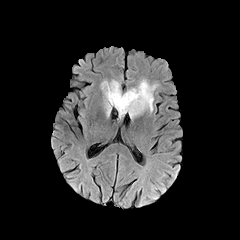
FLAIR MR image.
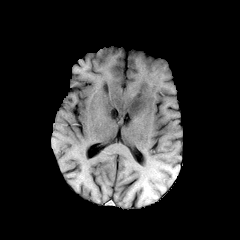
T1-weighted MR of the same slice.
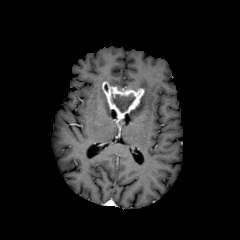
Post-contrast T1-weighted magnetic resonance.
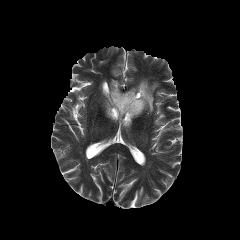
T2-weighted MR image.
Axial view.
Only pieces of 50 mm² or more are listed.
The enhancing tumor is at x1=102 y1=81 x2=144 y2=120. The largest necrotic tumor core region is located at x1=112 y1=94 x2=134 y2=112. The 3 largest peritumoral edema regions are bounded by x1=109 y1=79 x2=120 y2=89, x1=129 y1=79 x2=158 y2=118, x1=104 y1=94 x2=111 y2=116.